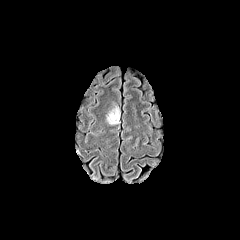
FLAIR magnetic resonance.
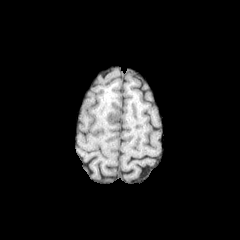
T1-weighted MRI.
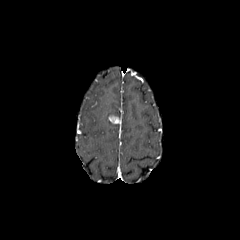
Post-contrast T1-weighted MR image of the same slice.
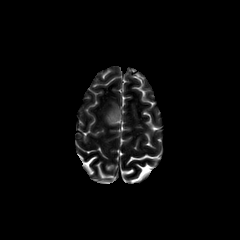
T2-weighted MR.
* peritumoral edema: bbox=[107, 106, 119, 124]
* enhancing tumor: bbox=[108, 114, 119, 123]